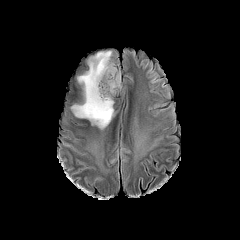
FLAIR MRI.
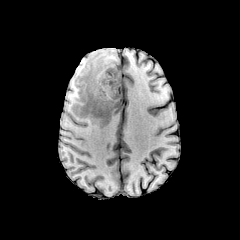
Same slice, T1-weighted MRI.
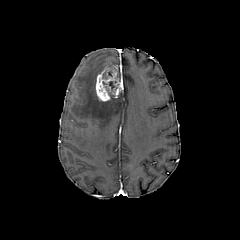
Post-contrast T1-weighted magnetic resonance.
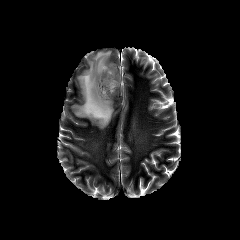
Same slice, T2-weighted MR.
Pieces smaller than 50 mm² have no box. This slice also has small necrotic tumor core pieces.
{"peritumoral_edema": ["[71, 50, 115, 129]"], "enhancing_tumor": ["[95, 66, 122, 101]"]}